Image width 240 mm, 1.00 mm slice spacing. Image size 240x240.
FLAIR magnetic resonance.
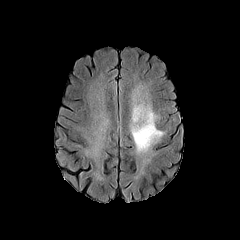
T1-weighted MRI.
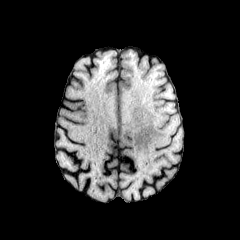
Post-contrast T1-weighted MRI.
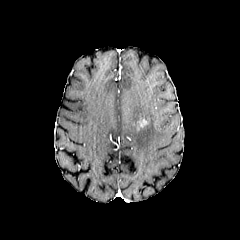
T2-weighted MRI.
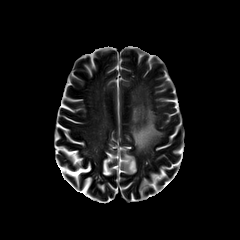
enhancing_tumor:
  - bbox(137, 118, 148, 129)
peritumoral_edema:
  - bbox(130, 90, 164, 153)